Slice 109 of 155 | 240x240 | Axial plane
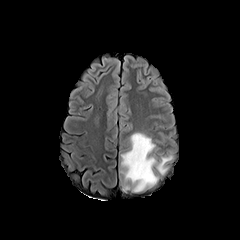
FLAIR MR image.
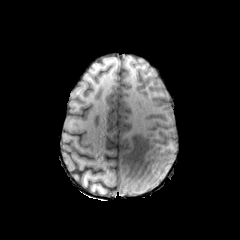
Same slice, T1-weighted MR image.
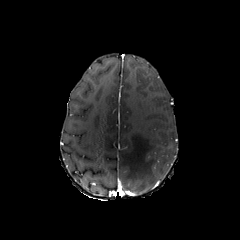
Same slice, post-contrast T1-weighted MR.
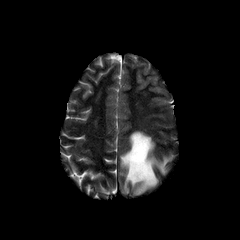
T2-weighted MRI.
peritumoral edema: bbox(120, 132, 172, 192)